FLAIR MRI.
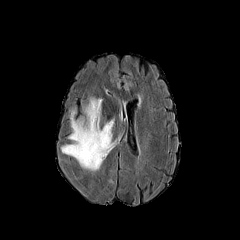
T1-weighted MRI.
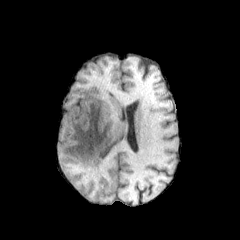
Post-contrast T1-weighted MRI.
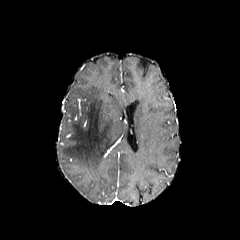
T2-weighted MRI.
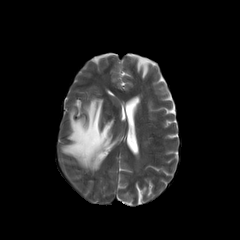
Head, Axial view
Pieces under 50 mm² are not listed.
Segmented structures:
• peritumoral edema: (left=61, top=97, right=116, bottom=170)